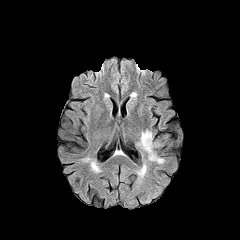
FLAIR MR.
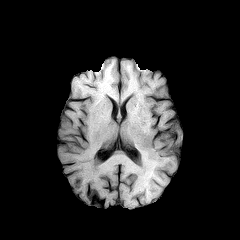
T1-weighted MRI.
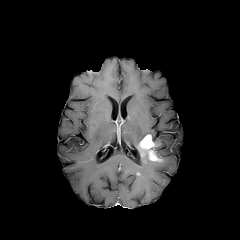
Post-contrast T1-weighted magnetic resonance.
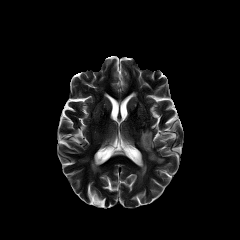
Same slice, T2-weighted MR image.
Head.
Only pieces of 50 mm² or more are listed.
{"enhancing_tumor": ["box(139, 134, 162, 161)"], "peritumoral_edema": ["box(137, 129, 160, 146)", "box(139, 163, 146, 176)"]}